Brain; Axial slice
FLAIR MRI.
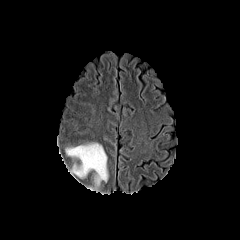
T1-weighted MR image.
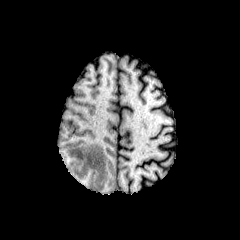
Post-contrast T1-weighted MRI.
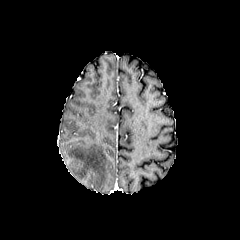
T2-weighted MR.
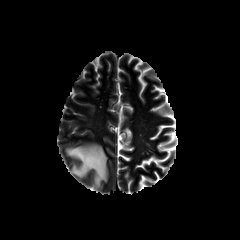
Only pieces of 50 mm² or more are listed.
Annotated regions:
* peritumoral edema: (left=66, top=143, right=107, bottom=187)